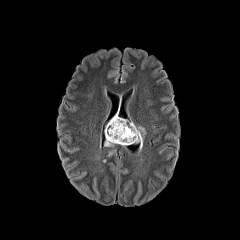
FLAIR MRI.
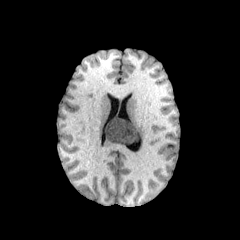
T1-weighted MR image.
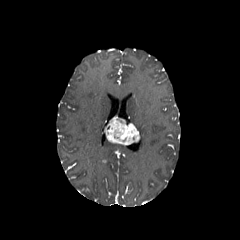
Same slice, post-contrast T1-weighted MR image.
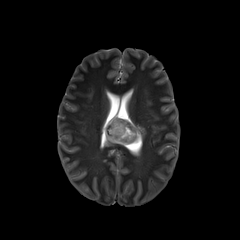
Same slice, T2-weighted MRI.
Brain. Axial slice.
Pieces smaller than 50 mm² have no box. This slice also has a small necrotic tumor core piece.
Segmented structures:
* peritumoral edema: region(136, 126, 145, 148)
* enhancing tumor: region(105, 116, 140, 145)